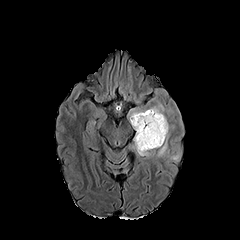
FLAIR MR.
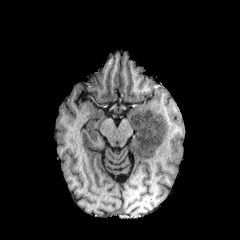
T1-weighted MR image.
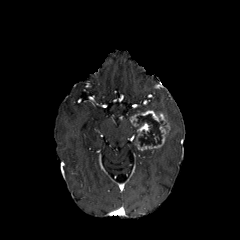
Same slice, post-contrast T1-weighted magnetic resonance.
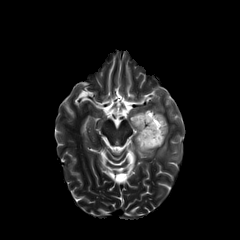
Same slice, T2-weighted MR image.
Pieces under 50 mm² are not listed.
peritumoral edema = <box>157,134,168,156</box>, <box>132,145,150,155</box>, <box>150,104,163,114</box>
necrotic tumor core = <box>133,114,167,146</box>
enhancing tumor = <box>135,123,169,150</box>, <box>130,110,166,126</box>